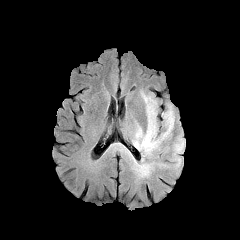
FLAIR MR image.
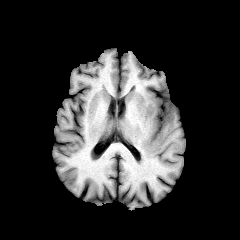
Same slice, T1-weighted MRI.
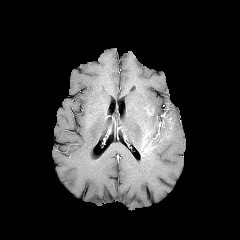
Post-contrast T1-weighted MR image of the same slice.
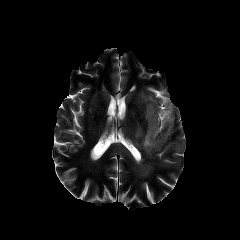
T2-weighted MRI.
240x240
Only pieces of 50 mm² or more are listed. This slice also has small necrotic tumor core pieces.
The 4 largest peritumoral edema regions are located at <bbox>138, 164, 150, 175</bbox>, <bbox>175, 143, 182, 151</bbox>, <bbox>142, 93, 162, 132</bbox>, <bbox>133, 102, 174, 156</bbox>. The largest enhancing tumor region appears at <bbox>142, 112, 171, 151</bbox>.